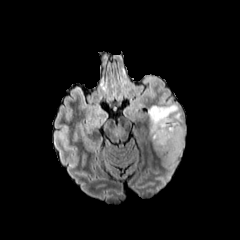
FLAIR magnetic resonance.
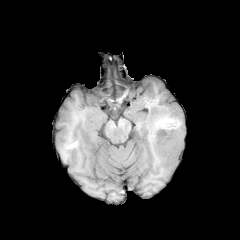
T1-weighted MR.
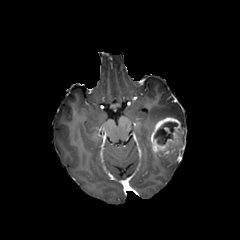
Post-contrast T1-weighted MR.
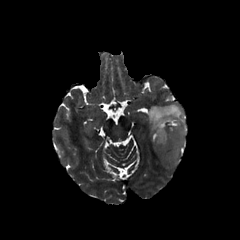
Same slice, T2-weighted MR image.
Brain. Axial plane.
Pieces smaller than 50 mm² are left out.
enhancing tumor: (x1=150, y1=117, x2=184, y2=159) | necrotic tumor core: (x1=154, y1=121, x2=177, y2=144) | peritumoral edema: (x1=161, y1=155, x2=177, y2=165), (x1=148, y1=104, x2=185, y2=140)